FLAIR MR.
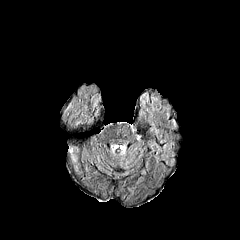
T1-weighted MR image.
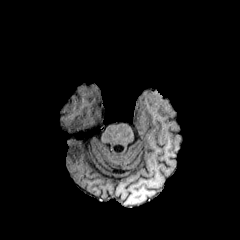
Post-contrast T1-weighted magnetic resonance.
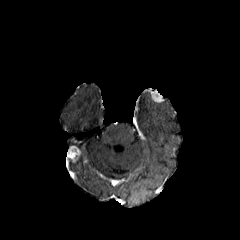
T2-weighted MR.
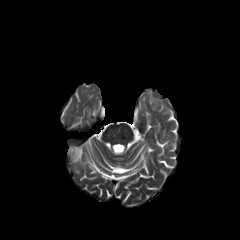
Axial slice, Brain
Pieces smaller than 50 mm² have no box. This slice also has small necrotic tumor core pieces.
The enhancing tumor is bounded by bbox(67, 145, 79, 161).